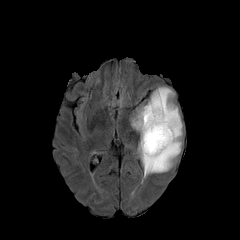
FLAIR magnetic resonance.
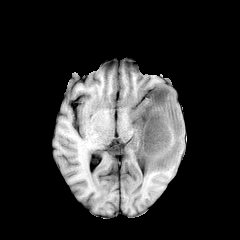
T1-weighted MRI.
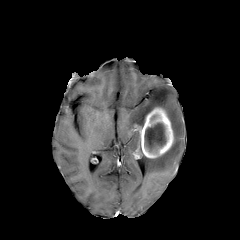
Same slice, post-contrast T1-weighted MR image.
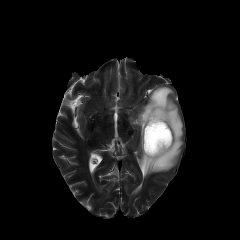
T2-weighted MRI.
Axial plane
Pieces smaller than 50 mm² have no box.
The largest peritumoral edema region is at box(131, 86, 183, 176). The necrotic tumor core lies within box(145, 123, 166, 151). The largest enhancing tumor region is bounded by box(135, 107, 173, 158).